FLAIR magnetic resonance.
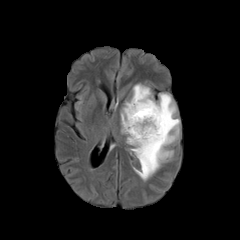
T1-weighted MRI.
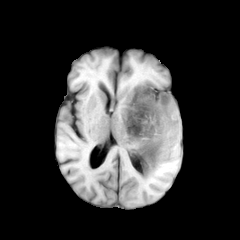
Post-contrast T1-weighted MRI.
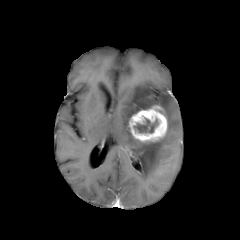
T2-weighted MR image.
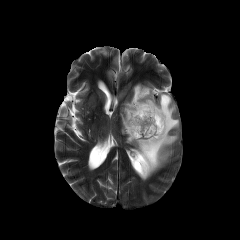
Axial slice
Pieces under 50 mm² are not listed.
peritumoral edema = left=121, top=84, right=179, bottom=180
enhancing tumor = left=128, top=105, right=167, bottom=143
necrotic tumor core = left=134, top=119, right=157, bottom=132